FLAIR MR.
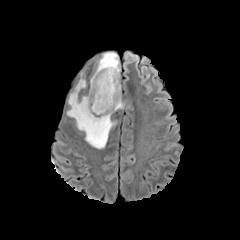
T1-weighted magnetic resonance.
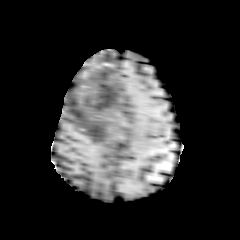
Post-contrast T1-weighted MRI.
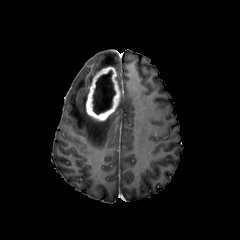
T2-weighted MR image.
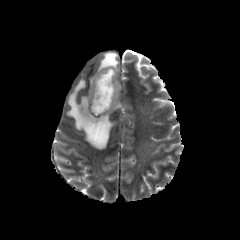
Brain.
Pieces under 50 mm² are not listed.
peritumoral edema: bbox(67, 79, 115, 148); bbox(97, 51, 119, 80)
necrotic tumor core: bbox(93, 70, 115, 114)
enhancing tumor: bbox(86, 66, 120, 121)